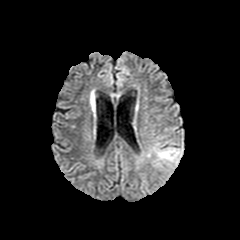
FLAIR magnetic resonance.
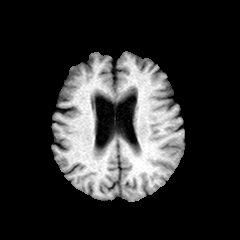
T1-weighted MRI of the same slice.
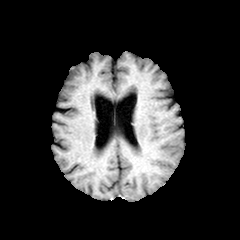
Post-contrast T1-weighted MR image.
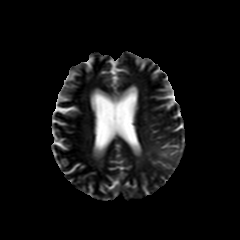
T2-weighted magnetic resonance.
240x240 px
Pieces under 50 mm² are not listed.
The largest peritumoral edema region is at 153:145:182:167.